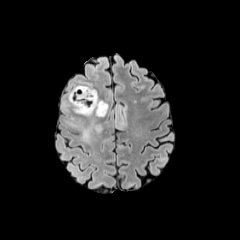
FLAIR MR image.
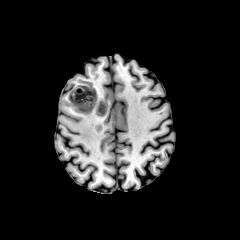
T1-weighted magnetic resonance.
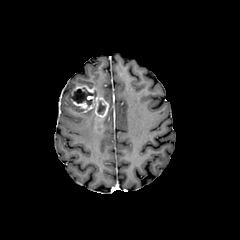
Post-contrast T1-weighted MR.
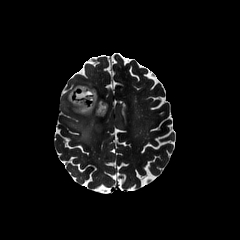
T2-weighted MRI of the same slice.
Axial view.
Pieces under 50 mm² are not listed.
The largest peritumoral edema region is bounded by box=[63, 89, 102, 143]. The enhancing tumor is at box=[70, 85, 108, 117]. 2 necrotic tumor core regions appear at box=[72, 88, 93, 106]; box=[97, 101, 105, 114].